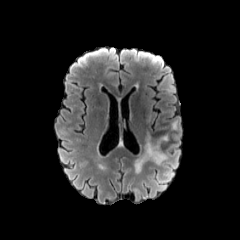
FLAIR MRI.
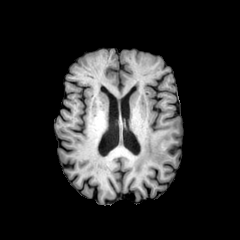
Same slice, T1-weighted MR image.
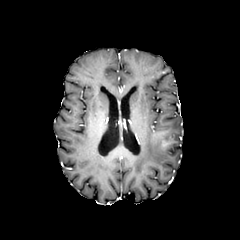
Post-contrast T1-weighted MR image.
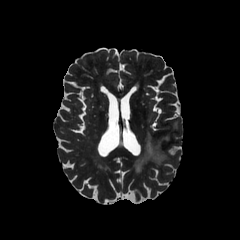
Same slice, T2-weighted MRI.
Brain; Axial view
2 peritumoral edema regions are located at 172:121:178:129, 135:134:168:172.